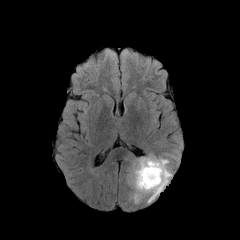
FLAIR magnetic resonance.
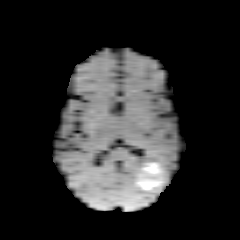
T1-weighted MR image.
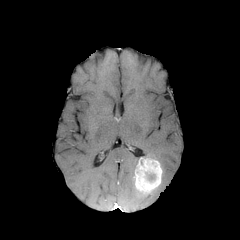
Post-contrast T1-weighted MRI.
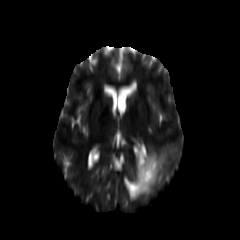
Same slice, T2-weighted magnetic resonance.
240x240, Axial view
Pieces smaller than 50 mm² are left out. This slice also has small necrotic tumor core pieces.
peritumoral edema: bounding box l=126, t=153, r=172, b=202
enhancing tumor: bounding box l=133, t=157, r=162, b=194